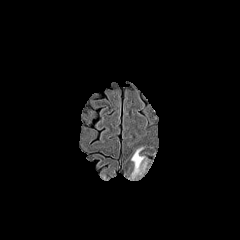
FLAIR MR.
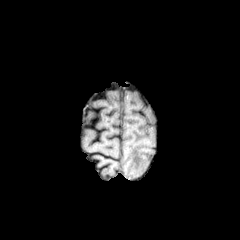
T1-weighted magnetic resonance of the same slice.
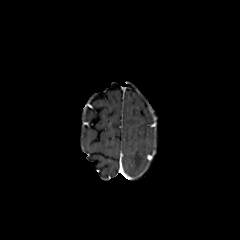
Post-contrast T1-weighted MR of the same slice.
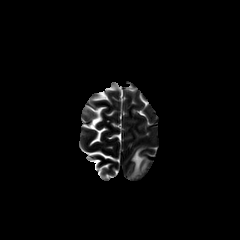
Same slice, T2-weighted MR.
Axial view; Brain
peritumoral edema: 132,148,144,175